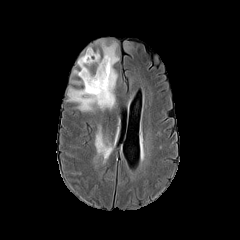
FLAIR magnetic resonance.
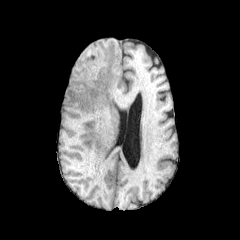
T1-weighted MRI of the same slice.
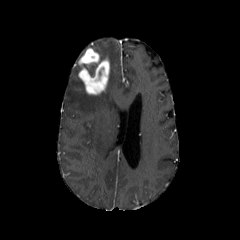
Same slice, post-contrast T1-weighted MR.
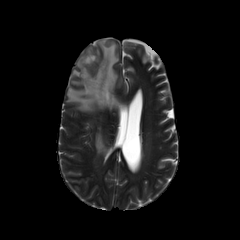
T2-weighted MR.
Axial plane | Head
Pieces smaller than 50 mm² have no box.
<segmentation>
  <peritumoral_edema>l=95, t=130, r=112, b=160; l=67, t=41, r=119, b=111</peritumoral_edema>
  <necrotic_tumor_core>l=93, t=65, r=106, b=81</necrotic_tumor_core>
  <enhancing_tumor>l=78, t=59, r=109, b=95; l=78, t=47, r=99, b=64</enhancing_tumor>
</segmentation>